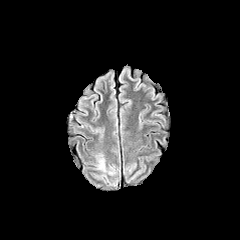
FLAIR MR image.
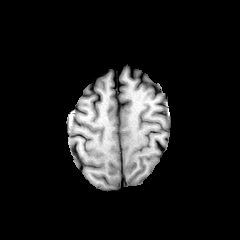
T1-weighted MR of the same slice.
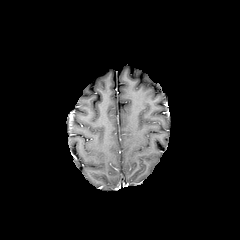
Post-contrast T1-weighted magnetic resonance.
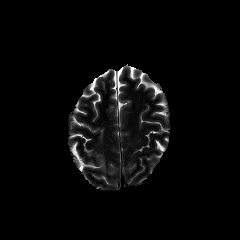
T2-weighted MRI.
240x240.
Annotated regions:
* peritumoral edema: (left=99, top=159, right=104, bottom=170)